Head.
FLAIR MR image.
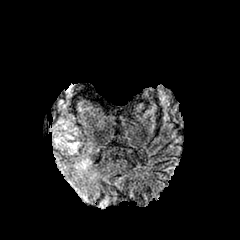
T1-weighted MRI.
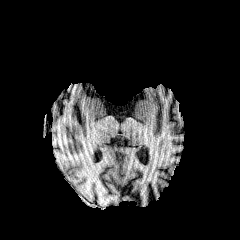
Post-contrast T1-weighted MR.
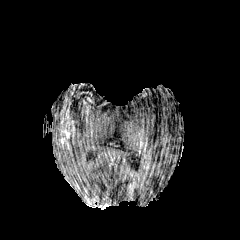
T2-weighted magnetic resonance.
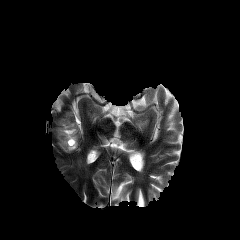
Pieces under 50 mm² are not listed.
The 2 largest peritumoral edema regions are located at x1=79, y1=156, x2=91, y2=168; x1=54, y1=118, x2=79, y2=153. The enhancing tumor is bounded by x1=60, y1=121, x2=75, y2=148.